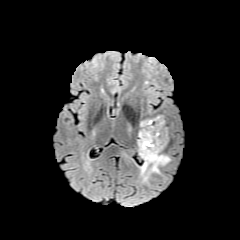
FLAIR MR image.
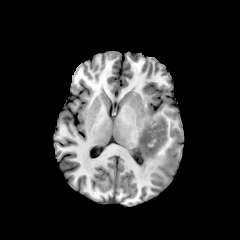
Same slice, T1-weighted magnetic resonance.
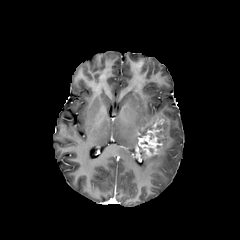
Post-contrast T1-weighted magnetic resonance of the same slice.
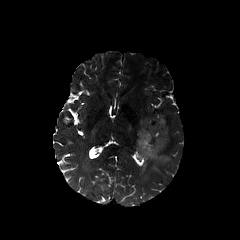
T2-weighted MR.
Head
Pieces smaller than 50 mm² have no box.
Segmented structures:
* enhancing tumor: box=[137, 118, 164, 157]
* peritumoral edema: box=[140, 120, 152, 128]; box=[139, 126, 171, 179]
* necrotic tumor core: box=[156, 130, 162, 142]